Image covers 240 mm x 240 mm | Axial plane | Head
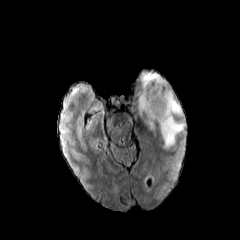
FLAIR MR.
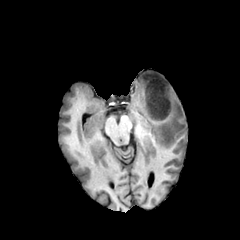
Same slice, T1-weighted MR image.
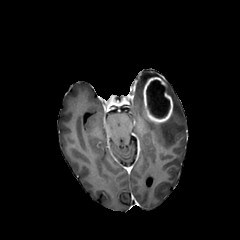
Post-contrast T1-weighted MR.
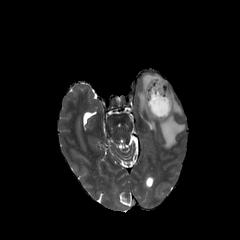
T2-weighted MRI.
enhancing tumor: rect(143, 77, 173, 123) | peritumoral edema: rect(138, 72, 161, 115); rect(149, 120, 156, 130); rect(159, 86, 185, 148) | necrotic tumor core: rect(146, 80, 169, 118)